FLAIR magnetic resonance.
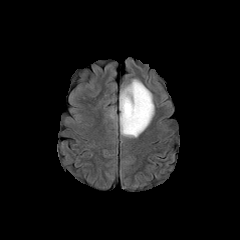
T1-weighted magnetic resonance.
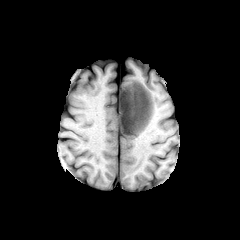
Post-contrast T1-weighted magnetic resonance.
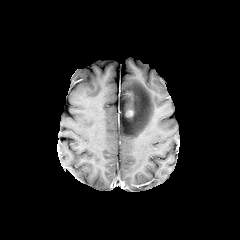
T2-weighted MRI.
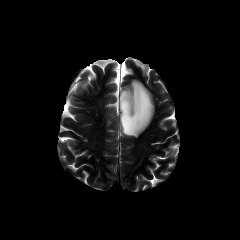
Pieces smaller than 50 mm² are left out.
peritumoral edema: (120, 79, 154, 137)
enhancing tumor: (125, 108, 133, 117)